Slice 55 of 155.
FLAIR MR.
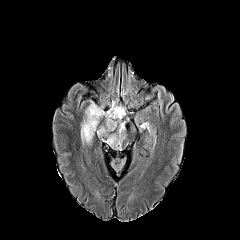
T1-weighted magnetic resonance.
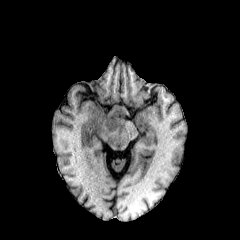
Post-contrast T1-weighted magnetic resonance.
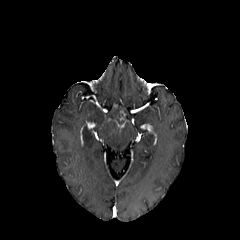
T2-weighted MR image.
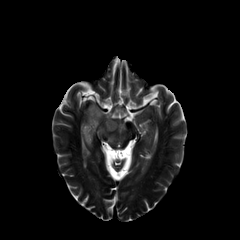
Segmented structures:
* peritumoral edema: 81:103:125:148
* necrotic tumor core: 106:120:116:129